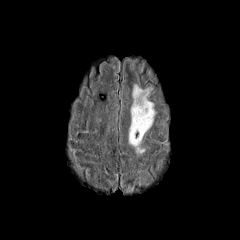
FLAIR MR.
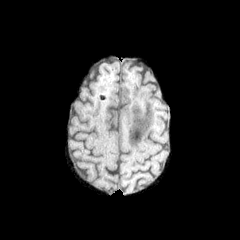
T1-weighted MR.
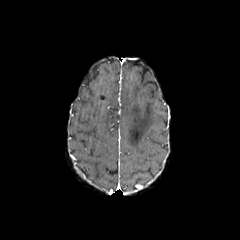
Post-contrast T1-weighted MR image.
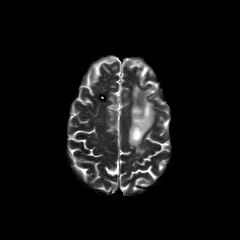
T2-weighted MRI.
Brain. Axial view.
The peritumoral edema appears at bbox(128, 84, 155, 153).